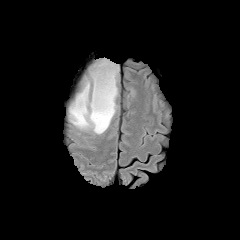
FLAIR MR image.
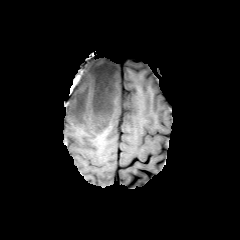
T1-weighted MR.
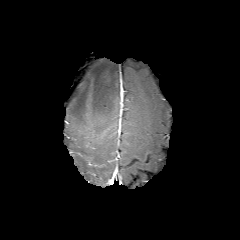
Post-contrast T1-weighted MR.
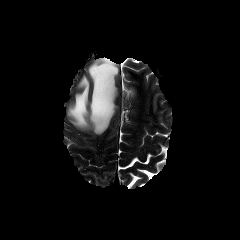
T2-weighted magnetic resonance of the same slice.
Axial view; Head
The peritumoral edema is located at [69,58,118,134].